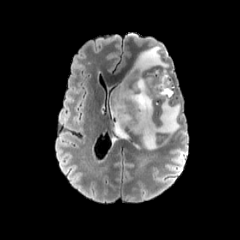
FLAIR MR.
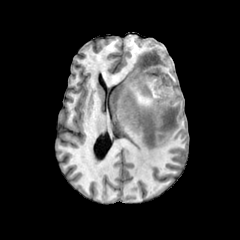
T1-weighted MR image.
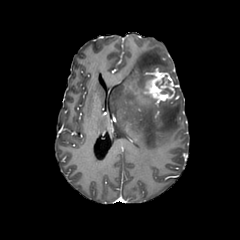
Same slice, post-contrast T1-weighted magnetic resonance.
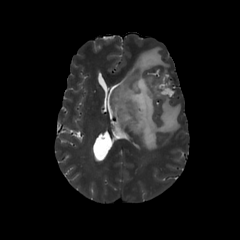
T2-weighted MR image of the same slice.
Axial plane
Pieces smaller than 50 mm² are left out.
The largest necrotic tumor core region is bounded by x1=161, y1=88, x2=172, y2=95. The largest peritumoral edema region appears at x1=110, y1=46, x2=180, y2=150. The enhancing tumor is located at x1=143, y1=72, x2=175, y2=100.